FLAIR magnetic resonance.
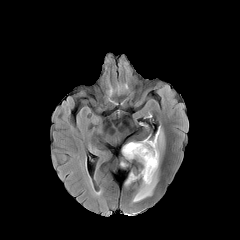
T1-weighted MR.
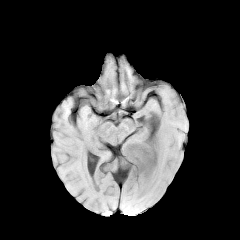
Post-contrast T1-weighted magnetic resonance.
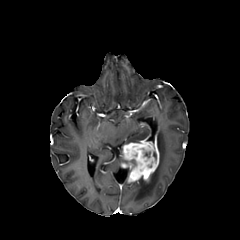
T2-weighted MRI.
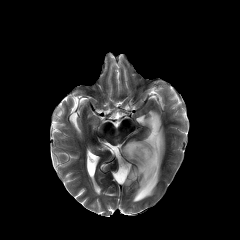
Head, Image size 240x240
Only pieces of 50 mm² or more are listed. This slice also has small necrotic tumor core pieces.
<segmentation>
  <peritumoral_edema>box=[132, 127, 164, 202]</peritumoral_edema>
  <enhancing_tumor>box=[121, 135, 159, 182]</enhancing_tumor>
</segmentation>